FLAIR MR.
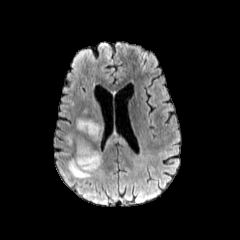
T1-weighted MR.
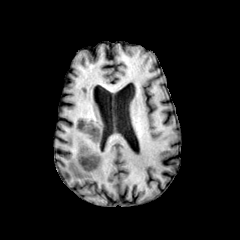
Post-contrast T1-weighted MRI.
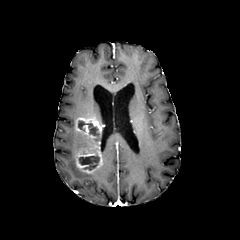
T2-weighted MR image.
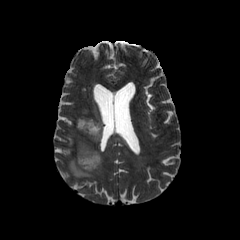
Axial plane
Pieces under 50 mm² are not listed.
Annotated regions:
* necrotic tumor core: (79, 154, 99, 170), (78, 121, 98, 135)
* peritumoral edema: (77, 140, 84, 152), (68, 157, 100, 178), (107, 133, 125, 144)
* enhancing tumor: (75, 117, 103, 173)